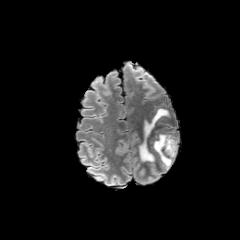
FLAIR MR image.
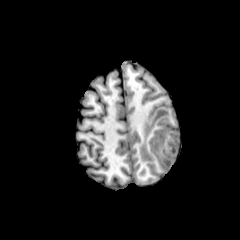
T1-weighted MR image.
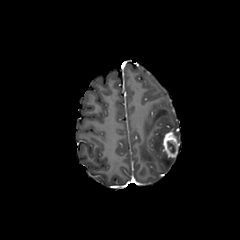
Same slice, post-contrast T1-weighted MR.
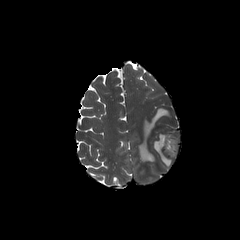
T2-weighted magnetic resonance.
Axial plane; Head
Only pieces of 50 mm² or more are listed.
The necrotic tumor core lies within [x1=167, y1=141, x2=175, y2=153]. The enhancing tumor is at [x1=162, y1=130, x2=178, y2=157]. The 2 largest peritumoral edema regions are bounded by [x1=139, y1=108, x2=170, y2=162], [x1=153, y1=128, x2=174, y2=169].